FLAIR MR image.
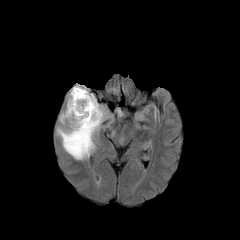
T1-weighted MR.
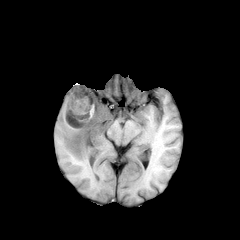
Post-contrast T1-weighted magnetic resonance.
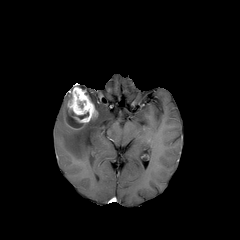
T2-weighted magnetic resonance.
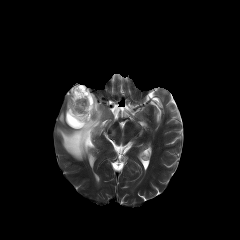
Axial slice
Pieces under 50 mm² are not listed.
{"peritumoral_edema": ["bbox(59, 112, 65, 125)", "bbox(57, 84, 107, 160)"], "enhancing_tumor": ["bbox(64, 85, 98, 129)"], "necrotic_tumor_core": ["bbox(66, 110, 82, 126)"]}